Brain
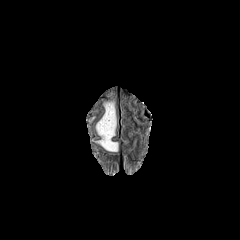
FLAIR magnetic resonance.
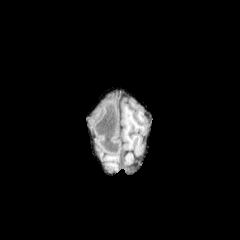
T1-weighted MRI.
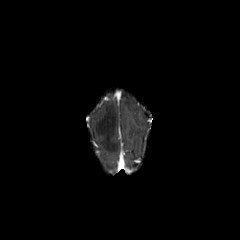
Same slice, post-contrast T1-weighted MRI.
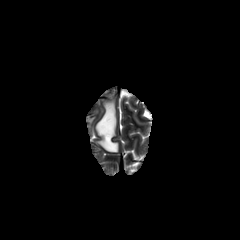
T2-weighted magnetic resonance.
The peritumoral edema appears at region(96, 101, 118, 151).